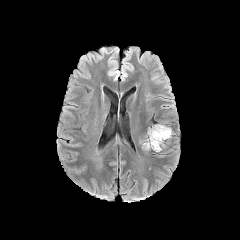
FLAIR MR.
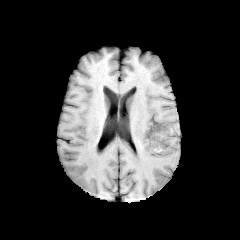
T1-weighted magnetic resonance.
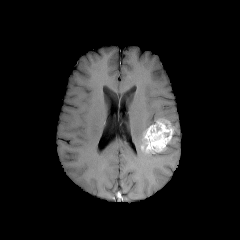
Same slice, post-contrast T1-weighted MR image.
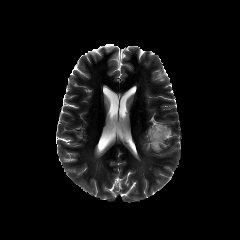
T2-weighted magnetic resonance of the same slice.
Axial slice. Head.
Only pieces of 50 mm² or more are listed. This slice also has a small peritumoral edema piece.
enhancing tumor at 142,120,172,152